FLAIR magnetic resonance.
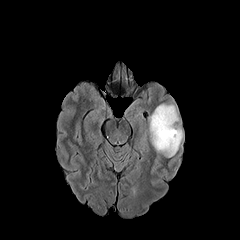
T1-weighted magnetic resonance.
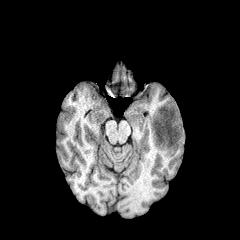
Post-contrast T1-weighted MR.
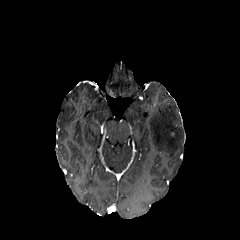
T2-weighted MR.
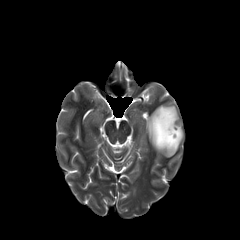
Axial slice
{
  "peritumoral_edema": [
    "left=149, top=104, right=183, bottom=157"
  ]
}